Axial view | Brain
FLAIR MR image.
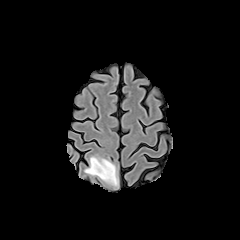
T1-weighted magnetic resonance.
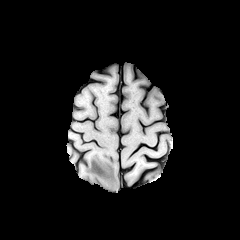
Post-contrast T1-weighted MRI.
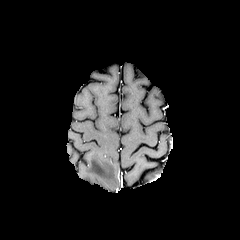
T2-weighted MR.
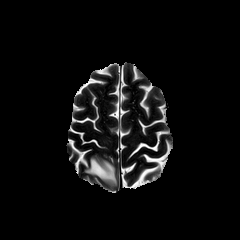
Annotated regions:
- peritumoral edema: box(84, 156, 116, 188)